Axial slice. Head.
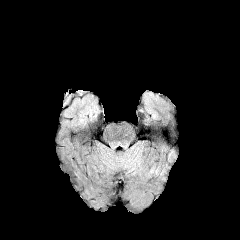
FLAIR MR image.
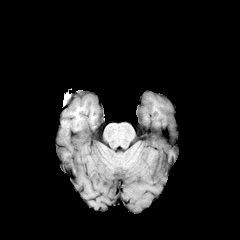
T1-weighted magnetic resonance of the same slice.
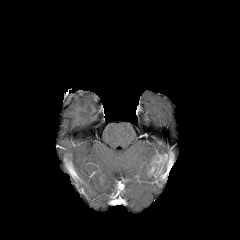
Post-contrast T1-weighted MR image.
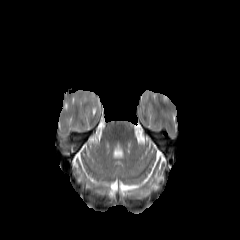
T2-weighted magnetic resonance.
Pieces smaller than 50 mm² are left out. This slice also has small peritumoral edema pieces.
enhancing tumor: {"x1": 148, "y1": 155, "x2": 166, "y2": 180}